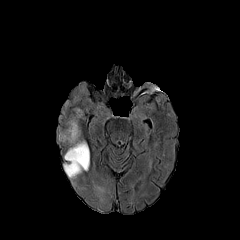
FLAIR MR image.
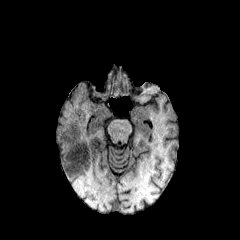
T1-weighted MR image.
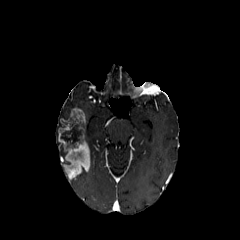
Same slice, post-contrast T1-weighted MR.
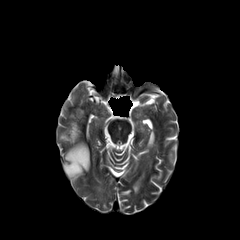
T2-weighted magnetic resonance.
Axial slice; 240x240
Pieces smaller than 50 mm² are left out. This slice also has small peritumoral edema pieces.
{
  "enhancing_tumor": [
    "box(58, 108, 90, 179)"
  ],
  "necrotic_tumor_core": [
    "box(61, 118, 82, 147)"
  ]
}